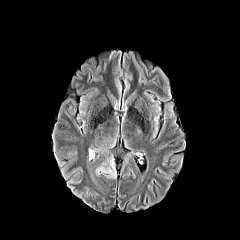
FLAIR MR.
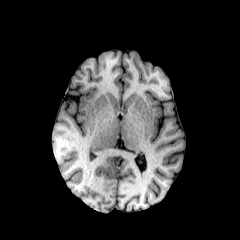
T1-weighted MR of the same slice.
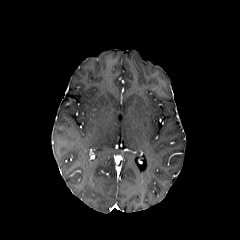
Post-contrast T1-weighted MR.
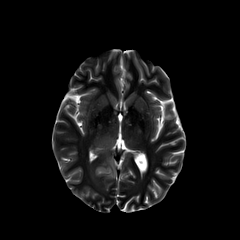
T2-weighted MR image of the same slice.
Image size 240x240.
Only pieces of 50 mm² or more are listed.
peritumoral edema at l=96, t=161, r=116, b=177